Slice index 60
FLAIR MR.
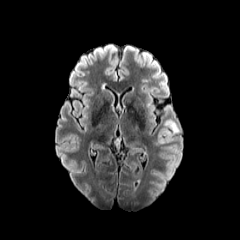
T1-weighted magnetic resonance.
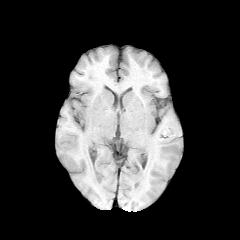
Post-contrast T1-weighted magnetic resonance.
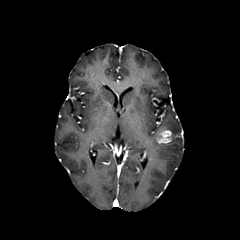
T2-weighted MR image.
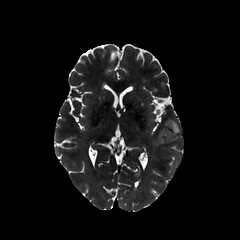
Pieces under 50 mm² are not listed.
peritumoral edema at [x1=164, y1=119, x2=179, y2=140]
enhancing tumor at [x1=157, y1=130, x2=171, y2=143]